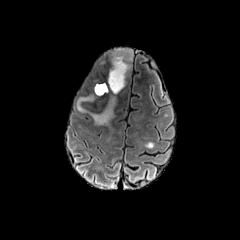
FLAIR MRI.
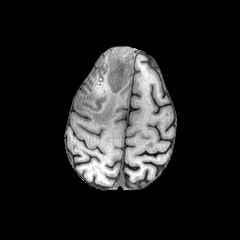
T1-weighted MR.
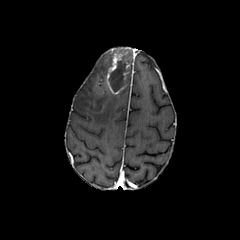
Post-contrast T1-weighted magnetic resonance of the same slice.
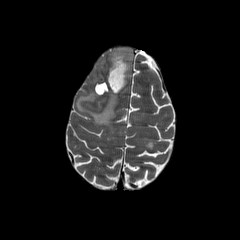
T2-weighted MR.
Brain.
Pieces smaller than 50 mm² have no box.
enhancing tumor = region(106, 48, 131, 94)
peritumoral edema = region(76, 94, 119, 125); region(94, 82, 109, 95)
necrotic tumor core = region(109, 56, 127, 91)